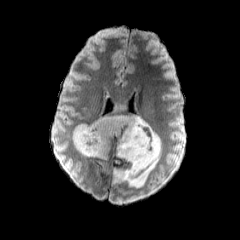
FLAIR MR.
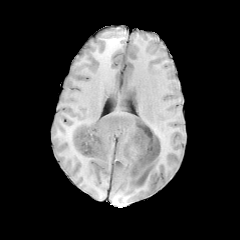
T1-weighted MRI.
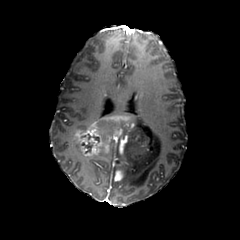
Post-contrast T1-weighted MR image.
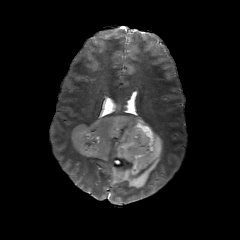
Same slice, T2-weighted MR image.
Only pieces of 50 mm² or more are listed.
peritumoral edema: (x1=104, y1=102, x2=130, y2=116), (x1=113, y1=114, x2=161, y2=188), (x1=99, y1=150, x2=110, y2=159) | enhancing tumor: (x1=113, y1=168, x2=123, y2=181), (x1=72, y1=115, x2=138, y2=159) | necrotic tumor core: (x1=81, y1=142, x2=92, y2=153), (x1=100, y1=119, x2=130, y2=142)